240x240 px; Head
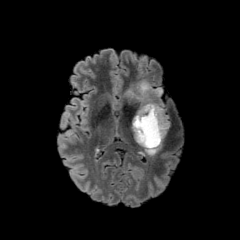
FLAIR MRI.
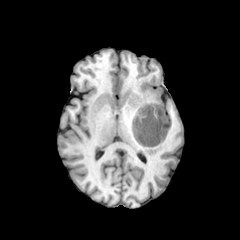
Same slice, T1-weighted MR image.
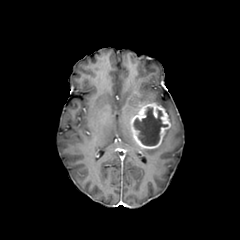
Post-contrast T1-weighted MR of the same slice.
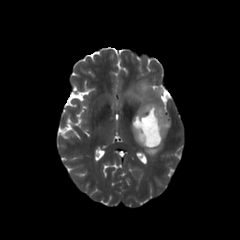
Same slice, T2-weighted MRI.
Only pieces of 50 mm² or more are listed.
peritumoral edema: (x1=144, y1=140, x2=162, y2=155), (x1=125, y1=80, x2=166, y2=112) | enhancing tumor: (x1=131, y1=103, x2=170, y2=148) | necrotic tumor core: (x1=134, y1=107, x2=167, y2=145)